Slice index 100. Image width 240 mm, 1.00 mm slice spacing. Brain.
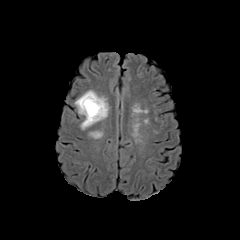
FLAIR MRI.
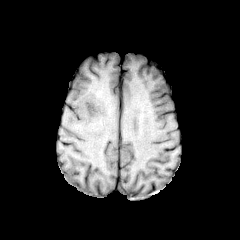
T1-weighted MR image of the same slice.
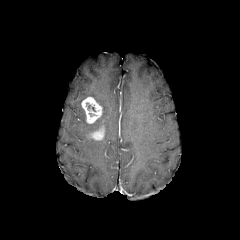
Post-contrast T1-weighted MR.
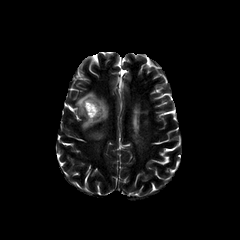
T2-weighted MRI.
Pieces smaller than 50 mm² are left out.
<segmentation>
  <peritumoral_edema>(75,90,108,129)</peritumoral_edema>
  <necrotic_tumor_core>(86,101,95,115)</necrotic_tumor_core>
  <enhancing_tumor>(90,127,104,139), (81,97,102,123)</enhancing_tumor>
</segmentation>